FLAIR MR image.
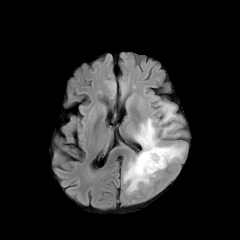
T1-weighted MR.
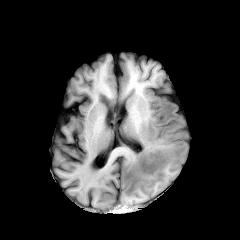
Post-contrast T1-weighted MRI.
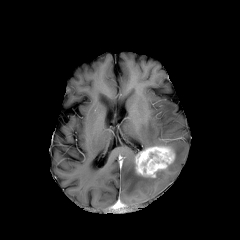
T2-weighted MR image.
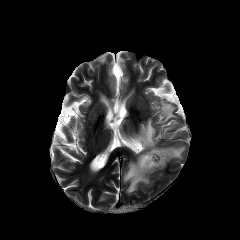
Axial plane, Image size 240x240
peritumoral edema — 133, 118, 162, 149; 123, 160, 150, 193; 162, 123, 176, 136; 167, 145, 185, 159; 159, 102, 177, 123
enhancing tumor — 135, 146, 174, 177